FLAIR MR.
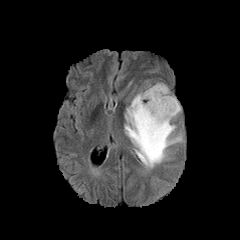
T1-weighted MR.
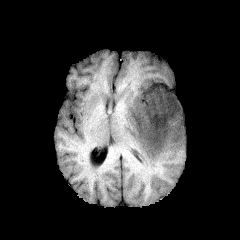
Post-contrast T1-weighted MR.
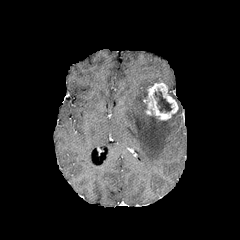
T2-weighted magnetic resonance.
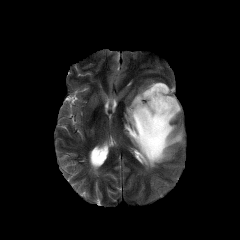
Axial plane. Head. 240x240 px.
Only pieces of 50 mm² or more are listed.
- necrotic tumor core: 155, 91, 171, 111
- peritumoral edema: 124, 86, 182, 168
- enhancing tumor: 145, 82, 178, 120